Slice 86/155. Brain.
FLAIR MRI.
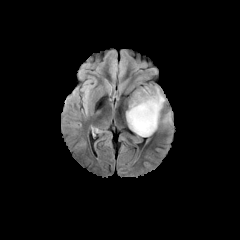
T1-weighted MR.
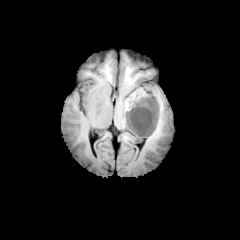
Post-contrast T1-weighted magnetic resonance.
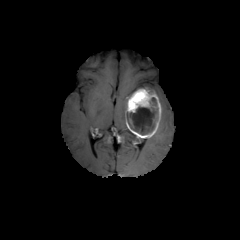
T2-weighted MR.
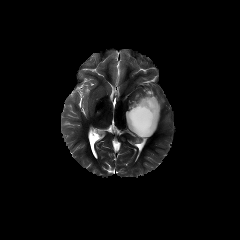
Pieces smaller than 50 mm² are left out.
The largest peritumoral edema region appears at left=155, top=88, right=164, bottom=107. The enhancing tumor is located at left=126, top=88, right=161, bottom=137. The largest necrotic tumor core region appears at left=129, top=107, right=156, bottom=134.